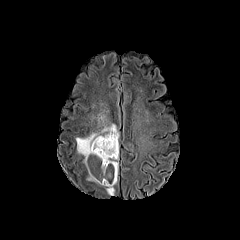
FLAIR MR.
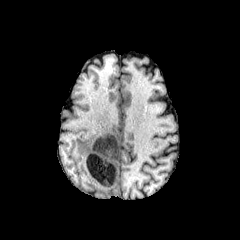
T1-weighted MRI of the same slice.
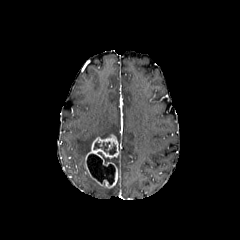
Same slice, post-contrast T1-weighted MR.
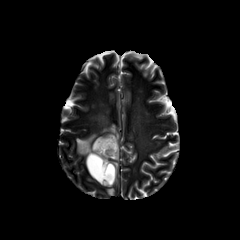
T2-weighted MR image of the same slice.
Axial slice, Brain
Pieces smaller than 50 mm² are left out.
enhancing_tumor:
  - left=85, top=134, right=119, bottom=188
necrotic_tumor_core:
  - left=109, top=145, right=116, bottom=154
  - left=94, top=142, right=110, bottom=152
  - left=87, top=154, right=115, bottom=184
peritumoral_edema:
  - left=76, top=124, right=119, bottom=156
  - left=106, top=187, right=114, bottom=195